Brain; 240x240
FLAIR magnetic resonance.
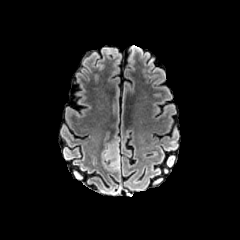
T1-weighted MRI.
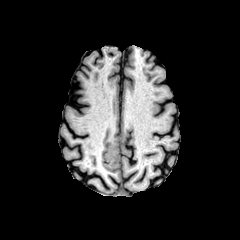
Post-contrast T1-weighted MR image.
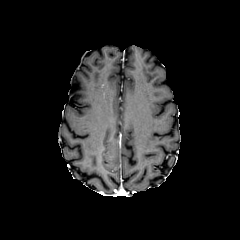
T2-weighted MRI.
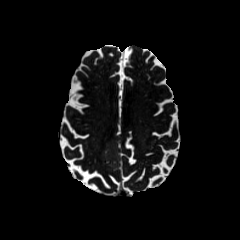
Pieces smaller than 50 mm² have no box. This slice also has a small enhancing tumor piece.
Segmented structures:
• peritumoral edema: <bbox>101, 134, 120, 171</bbox>